FLAIR magnetic resonance.
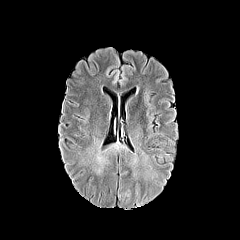
T1-weighted MR.
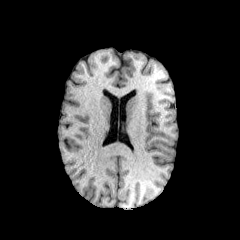
Post-contrast T1-weighted magnetic resonance.
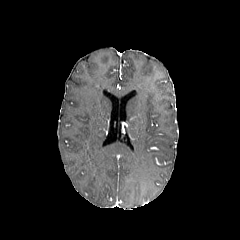
T2-weighted MRI.
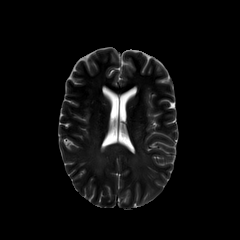
Axial plane
The peritumoral edema lies within 77,125,162,182.